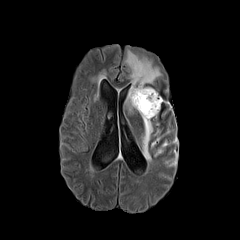
FLAIR MR.
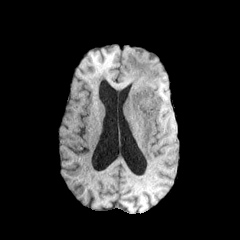
T1-weighted MR of the same slice.
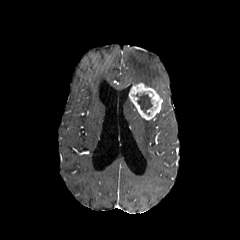
Post-contrast T1-weighted MRI.
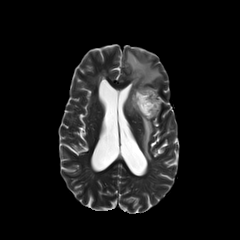
T2-weighted magnetic resonance.
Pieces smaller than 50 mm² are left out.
enhancing_tumor:
  - {"x1": 128, "y1": 83, "x2": 162, "y2": 119}
peritumoral_edema:
  - {"x1": 125, "y1": 96, "x2": 134, "y2": 112}
  - {"x1": 125, "y1": 50, "x2": 161, "y2": 85}
  - {"x1": 142, "y1": 119, "x2": 153, "y2": 161}
necrotic_tumor_core:
  - {"x1": 134, "y1": 93, "x2": 152, "y2": 115}